FLAIR MR image.
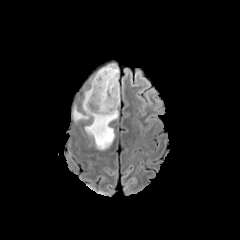
T1-weighted MR.
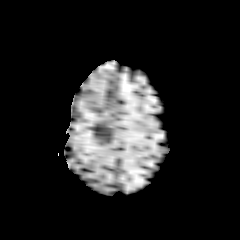
Post-contrast T1-weighted MR.
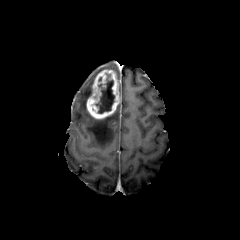
T2-weighted MR.
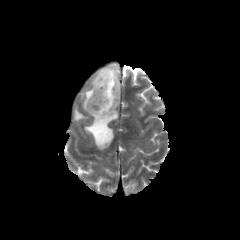
Axial plane | Brain
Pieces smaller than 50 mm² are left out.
* peritumoral edema: (left=98, top=63, right=118, bottom=79), (left=74, top=111, right=87, bottom=119), (left=85, top=110, right=117, bottom=149), (left=83, top=89, right=91, bottom=110)
* necrotic tumor core: (left=96, top=80, right=114, bottom=113)
* enhancing tumor: (left=86, top=69, right=120, bottom=119)